FLAIR MRI.
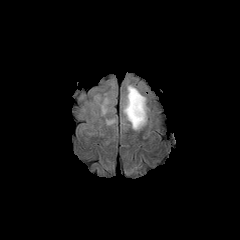
T1-weighted magnetic resonance.
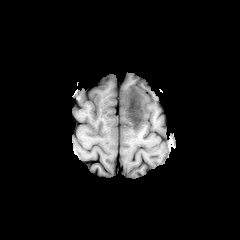
Post-contrast T1-weighted MRI.
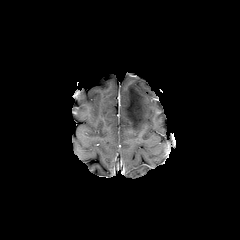
T2-weighted MRI.
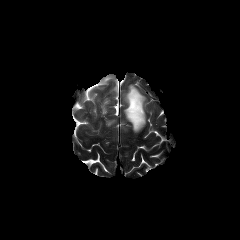
240x240; Head
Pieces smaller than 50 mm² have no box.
peritumoral edema: bounding box [x1=101, y1=99, x2=107, y2=114], [x1=123, y1=85, x2=147, y2=130]